Slice 85 of 155. 240x240 px.
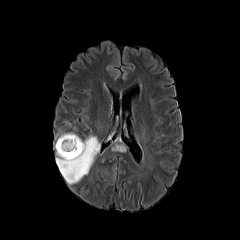
FLAIR magnetic resonance.
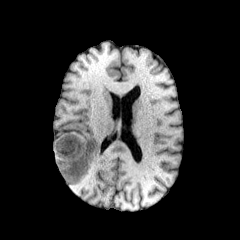
Same slice, T1-weighted magnetic resonance.
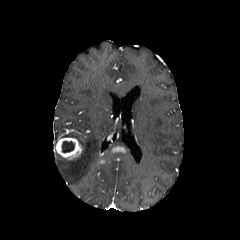
Post-contrast T1-weighted MR.
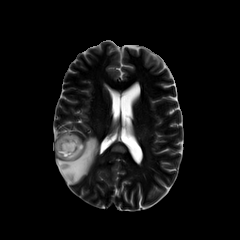
T2-weighted magnetic resonance.
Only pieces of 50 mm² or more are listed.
Segmented structures:
* peritumoral edema: <box>56,133,100,184</box>
* enhancing tumor: <box>55,137,82,159</box>
* necrotic tumor core: <box>62,141,74,152</box>